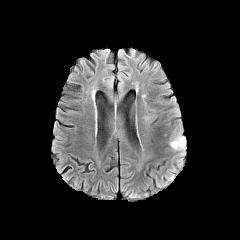
FLAIR MR.
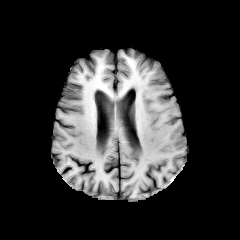
T1-weighted MR image.
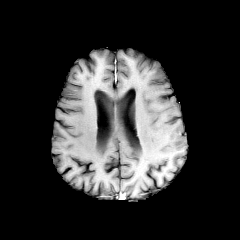
Post-contrast T1-weighted MRI.
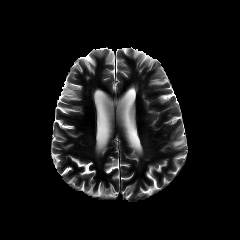
Same slice, T2-weighted MRI.
240x240 px, Axial slice
peritumoral edema: <bbox>171, 136, 186, 147</bbox>